Axial slice; 240x240; Image covers 240 mm x 240 mm; Head; Slice 70 of 155
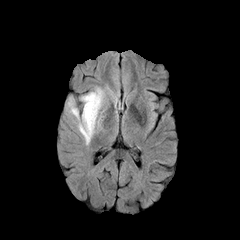
FLAIR MRI.
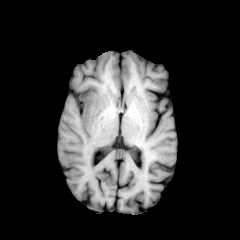
Same slice, T1-weighted MR image.
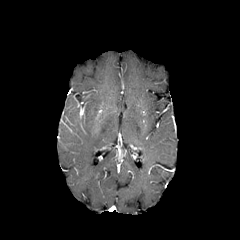
Post-contrast T1-weighted MR image.
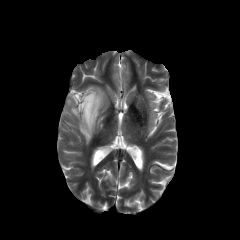
Same slice, T2-weighted magnetic resonance.
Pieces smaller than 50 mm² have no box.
peritumoral edema at [67, 87, 106, 144]